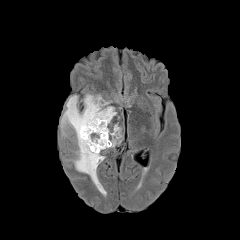
FLAIR MR image.
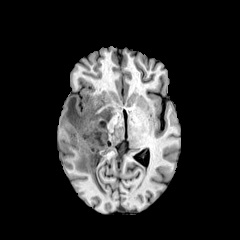
T1-weighted MRI of the same slice.
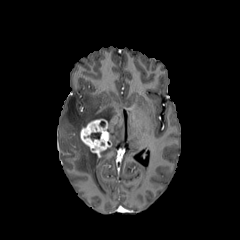
Post-contrast T1-weighted MRI.
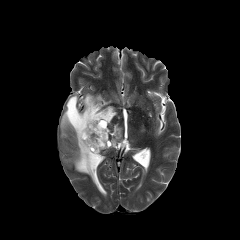
T2-weighted MR.
Axial slice. 240x240 px.
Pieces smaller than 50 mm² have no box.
peritumoral_edema:
  - [107, 124, 122, 147]
  - [61, 94, 116, 194]
necrotic_tumor_core:
  - [88, 132, 100, 140]
enhancing_tumor:
  - [80, 119, 111, 157]